Axial view; Slice 56 of 155; Head
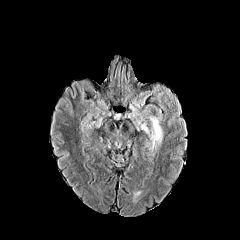
FLAIR MR image.
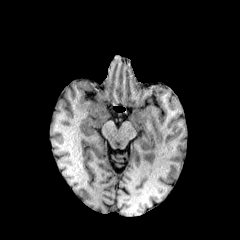
T1-weighted MRI.
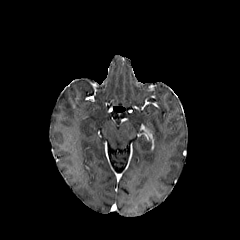
Post-contrast T1-weighted magnetic resonance.
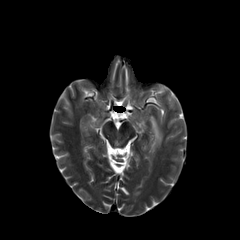
Same slice, T2-weighted MRI.
The peritumoral edema is bounded by x1=150 y1=117 x2=162 y2=146.